Slice 130 of 155; Image size 240x240; Image width 240 mm, 1.00 mm slice spacing; Brain
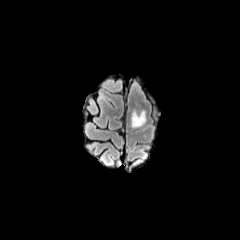
FLAIR magnetic resonance.
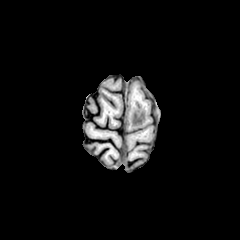
Same slice, T1-weighted MR image.
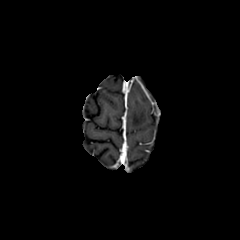
Post-contrast T1-weighted MRI.
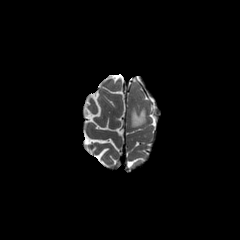
T2-weighted MRI.
<segmentation>
  <peritumoral_edema>(131,109,145,127)</peritumoral_edema>
</segmentation>